FLAIR magnetic resonance.
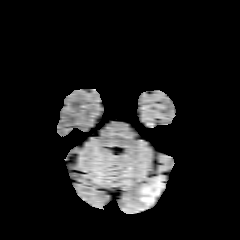
T1-weighted MR.
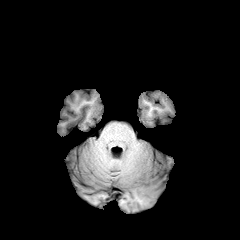
Post-contrast T1-weighted MR.
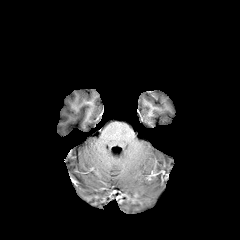
T2-weighted magnetic resonance.
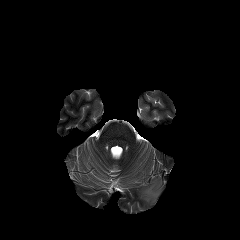
peritumoral edema: bounding box 140, 177, 163, 205